Slice index 65; Axial slice
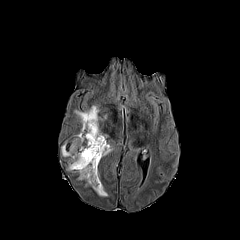
FLAIR MRI.
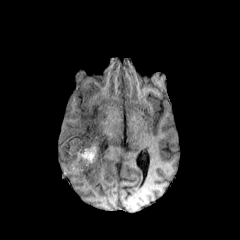
T1-weighted magnetic resonance.
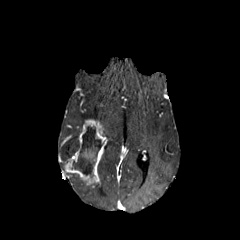
Post-contrast T1-weighted MRI.
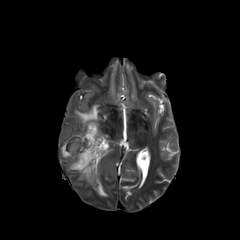
T2-weighted MRI.
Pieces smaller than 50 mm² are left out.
The largest enhancing tumor region is located at <box>64,119,107,187</box>. The 4 largest peritumoral edema regions are located at <box>93,183,107,196</box>, <box>61,134,79,157</box>, <box>102,144,113,157</box>, <box>74,105,99,126</box>. The necrotic tumor core lies within <box>73,126,102,175</box>.